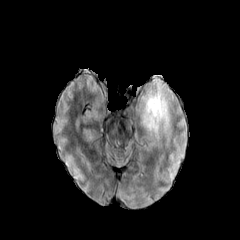
FLAIR MR.
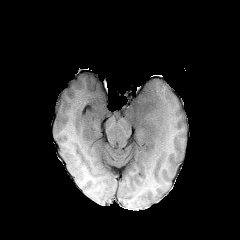
T1-weighted MR of the same slice.
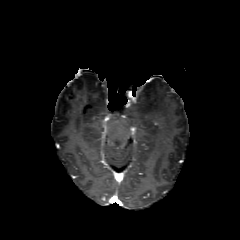
Post-contrast T1-weighted magnetic resonance.
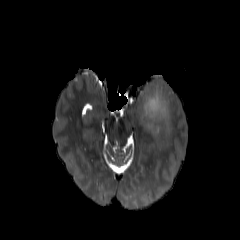
T2-weighted MR image.
240x240 px; Brain
The peritumoral edema lies within left=138, top=84, right=169, bottom=137.